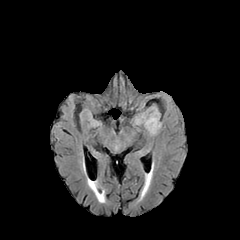
FLAIR MRI.
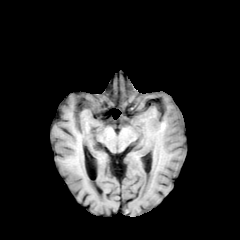
Same slice, T1-weighted MR.
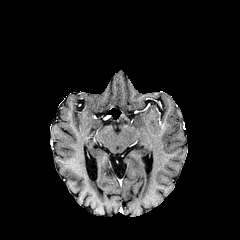
Post-contrast T1-weighted MR image of the same slice.
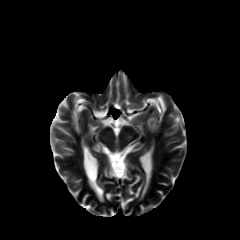
Same slice, T2-weighted magnetic resonance.
240x240 px; Head
peritumoral edema: bbox(146, 117, 158, 130)